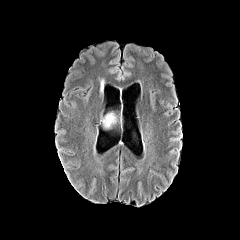
FLAIR MRI.
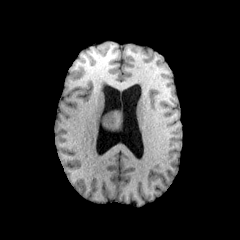
T1-weighted magnetic resonance.
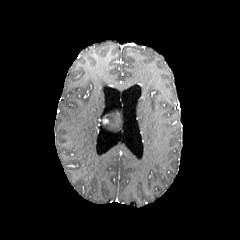
Post-contrast T1-weighted MRI.
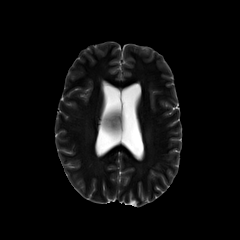
Same slice, T2-weighted magnetic resonance.
240x240 px
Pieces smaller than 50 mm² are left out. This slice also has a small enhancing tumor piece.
The largest peritumoral edema region is located at 103,114,115,126.